Image width 240 mm, 1.00 mm slice spacing | Brain | Image size 240x240
FLAIR MRI.
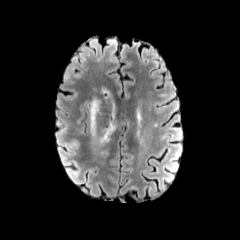
T1-weighted MR image.
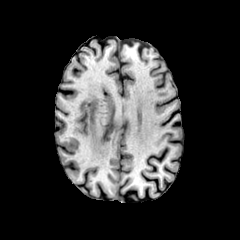
Post-contrast T1-weighted MRI.
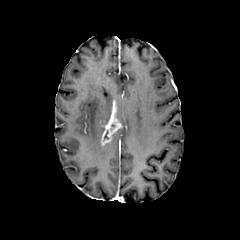
T2-weighted magnetic resonance.
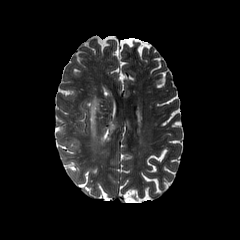
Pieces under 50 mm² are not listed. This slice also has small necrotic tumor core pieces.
enhancing tumor = 101:116:120:145
peritumoral edema = 89:97:99:139